FLAIR MRI.
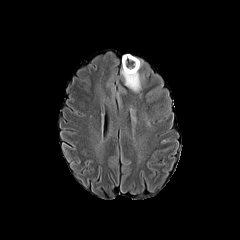
T1-weighted MR image.
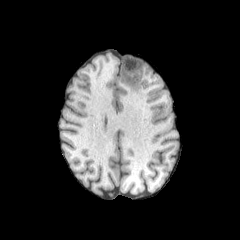
Post-contrast T1-weighted MR image.
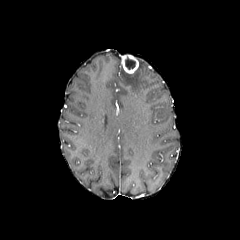
T2-weighted MRI.
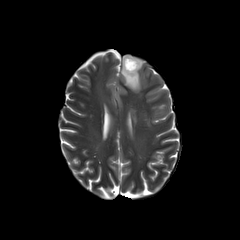
Head, Axial plane
The peritumoral edema appears at rect(120, 59, 142, 92). The enhancing tumor is bounded by rect(122, 54, 138, 73). The necrotic tumor core is at rect(125, 56, 135, 69).